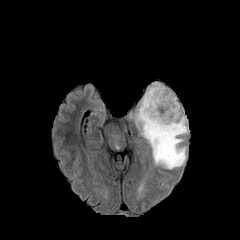
FLAIR MRI.
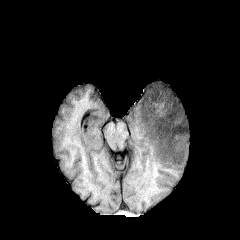
T1-weighted MR of the same slice.
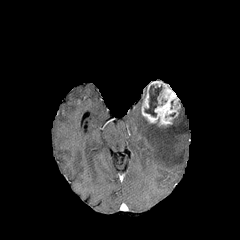
Post-contrast T1-weighted MR of the same slice.
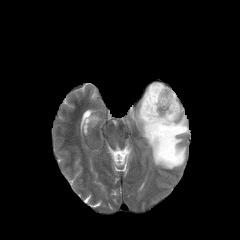
Same slice, T2-weighted MR image.
Image size 240x240 | Brain | Axial view
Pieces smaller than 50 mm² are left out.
The peritumoral edema is located at <bbox>130, 98, 188, 169</bbox>. The enhancing tumor is located at <bbox>141, 81, 180, 126</bbox>. The largest necrotic tumor core region is bounded by <bbox>145, 85, 162, 116</bbox>.